Slice index 106.
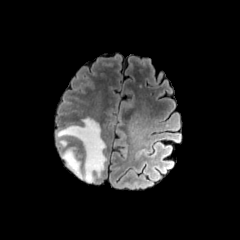
FLAIR magnetic resonance.
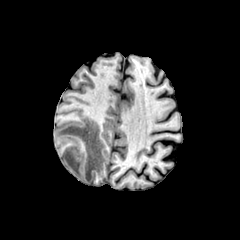
T1-weighted MRI.
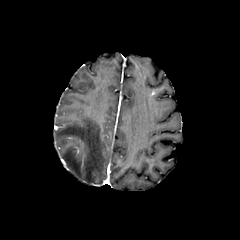
Post-contrast T1-weighted MRI.
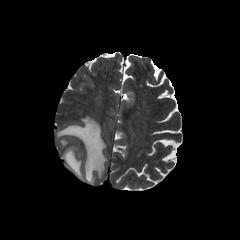
Same slice, T2-weighted MRI.
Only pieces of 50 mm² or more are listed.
The largest peritumoral edema region appears at bbox=[56, 117, 106, 182].